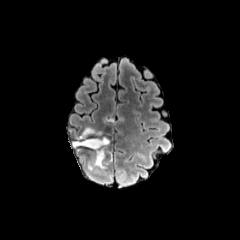
FLAIR MR.
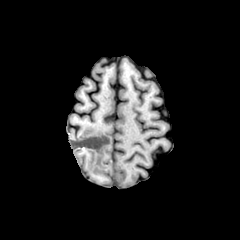
Same slice, T1-weighted MR image.
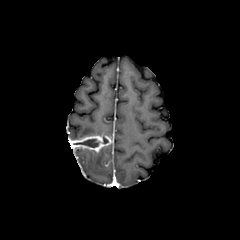
Post-contrast T1-weighted MR.
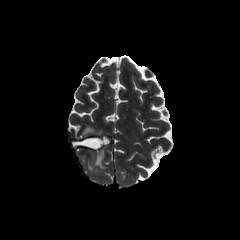
Same slice, T2-weighted MR.
Brain
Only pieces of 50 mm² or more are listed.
{
  "necrotic_tumor_core": [
    "region(74, 139, 98, 147)"
  ],
  "peritumoral_edema": [
    "region(88, 148, 105, 170)",
    "region(80, 127, 95, 138)"
  ],
  "enhancing_tumor": [
    "region(71, 135, 110, 152)"
  ]
}